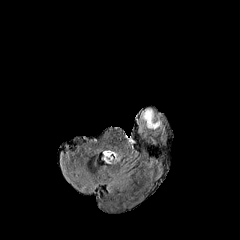
FLAIR magnetic resonance.
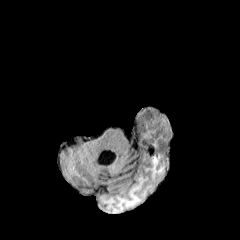
T1-weighted magnetic resonance.
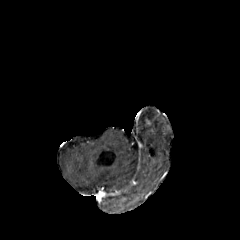
Post-contrast T1-weighted magnetic resonance.
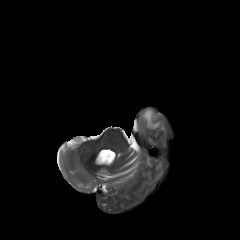
T2-weighted MRI.
Brain
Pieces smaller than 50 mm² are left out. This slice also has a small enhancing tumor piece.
<segmentation>
  <peritumoral_edema>(left=142, top=109, right=160, bottom=128)</peritumoral_edema>
</segmentation>